FLAIR magnetic resonance.
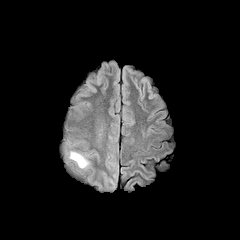
T1-weighted MRI.
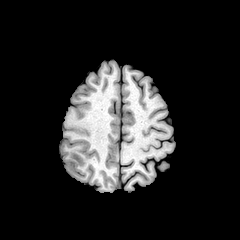
Post-contrast T1-weighted MRI.
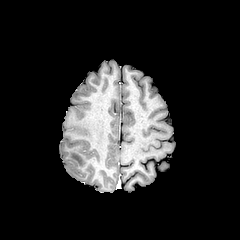
T2-weighted MRI.
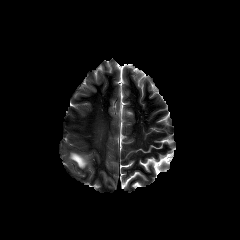
peritumoral edema: bounding box 70,152,87,167